FLAIR magnetic resonance.
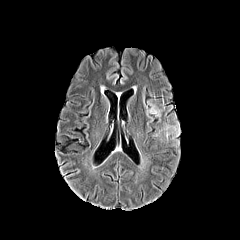
T1-weighted magnetic resonance.
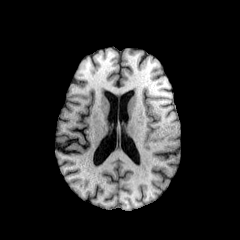
Post-contrast T1-weighted MRI.
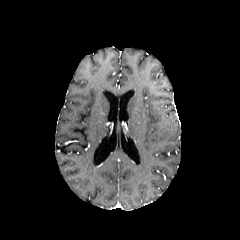
T2-weighted MR.
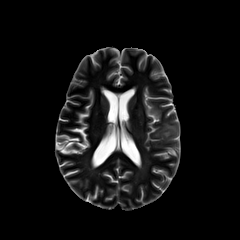
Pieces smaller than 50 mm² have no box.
Segmented structures:
- peritumoral edema: <box>163,125,179,138</box>